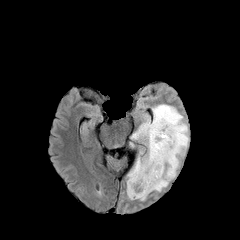
FLAIR magnetic resonance.
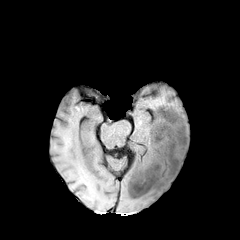
T1-weighted MR image.
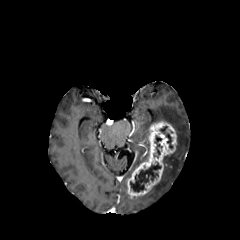
Post-contrast T1-weighted MR image.
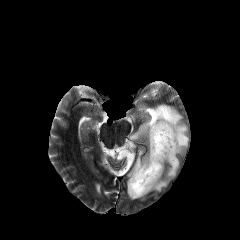
T2-weighted MR image.
Brain.
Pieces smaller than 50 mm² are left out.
The 3 largest necrotic tumor core regions appear at left=130, top=163, right=160, bottom=192; left=166, top=133, right=172, bottom=148; left=155, top=136, right=161, bottom=154. The largest enhancing tumor region is at left=127, top=120, right=177, bottom=198. The 2 largest peritumoral edema regions are located at left=130, top=193, right=148, bottom=200; left=127, top=104, right=189, bottom=192.